Slice 106/155. Brain.
FLAIR MR.
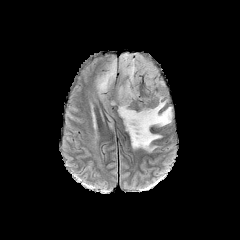
T1-weighted magnetic resonance.
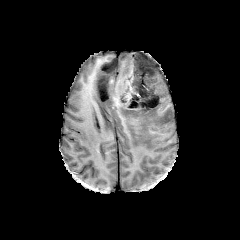
Post-contrast T1-weighted magnetic resonance.
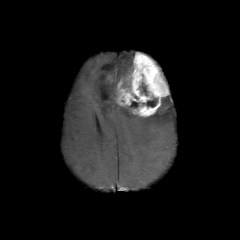
T2-weighted magnetic resonance.
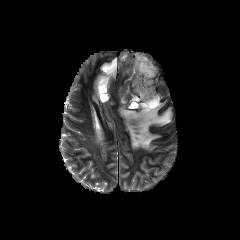
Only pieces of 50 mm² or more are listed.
peritumoral edema: bounding box <box>96,51,172,151</box>
necrotic tumor core: bounding box <box>128,101,138,108</box>, <box>146,98,157,107</box>
enhancing tumor: bounding box <box>117,52,168,117</box>